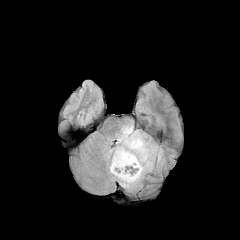
FLAIR MRI.
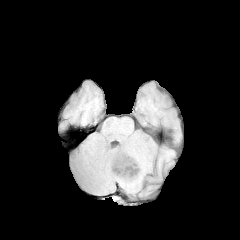
T1-weighted magnetic resonance.
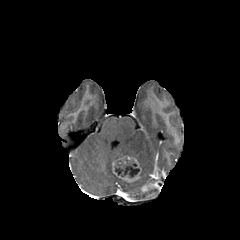
Post-contrast T1-weighted MR image.
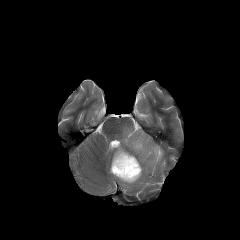
T2-weighted MRI.
Head
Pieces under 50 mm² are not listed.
{
  "enhancing_tumor": [
    "112:154:141:182"
  ],
  "peritumoral_edema": [
    "104:124:155:190"
  ],
  "necrotic_tumor_core": [
    "115:159:139:177"
  ]
}